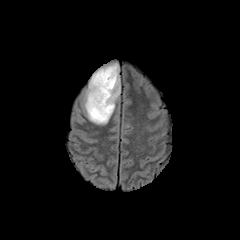
FLAIR MR image.
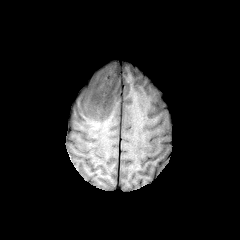
Same slice, T1-weighted magnetic resonance.
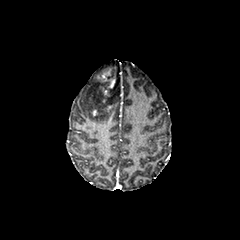
Post-contrast T1-weighted MR image.
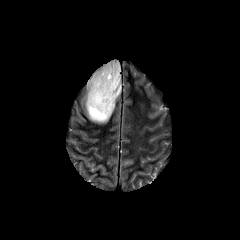
T2-weighted MR of the same slice.
240x240
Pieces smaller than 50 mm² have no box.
peritumoral_edema:
  - 84, 63, 120, 124
enhancing_tumor:
  - 95, 67, 116, 103